FLAIR MR image.
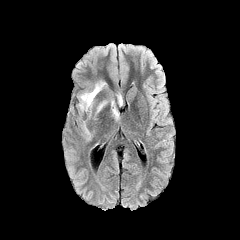
T1-weighted MR image.
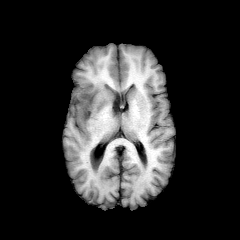
Post-contrast T1-weighted MR.
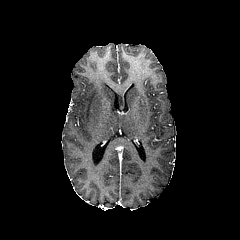
T2-weighted magnetic resonance.
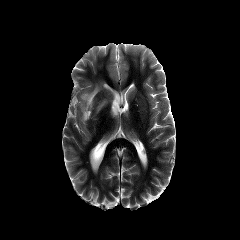
Axial slice. Image size 240x240. Head.
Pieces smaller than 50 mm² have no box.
peritumoral_edema:
  - (x1=81, y1=121, x2=90, y2=140)
  - (x1=96, y1=100, x2=107, y2=113)
  - (x1=111, y1=100, x2=119, y2=119)
  - (x1=78, y1=82, x2=105, y2=117)